FLAIR MR.
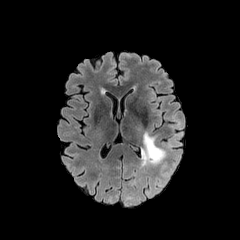
T1-weighted MRI.
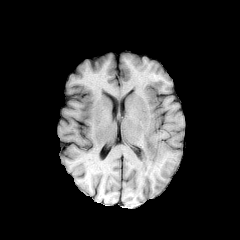
Post-contrast T1-weighted magnetic resonance.
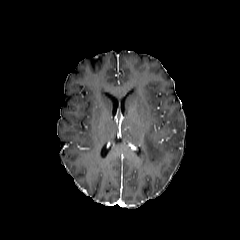
T2-weighted MR image.
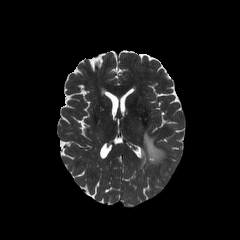
240x240; Axial slice; Brain
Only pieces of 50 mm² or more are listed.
peritumoral edema: (left=141, top=131, right=167, bottom=167)